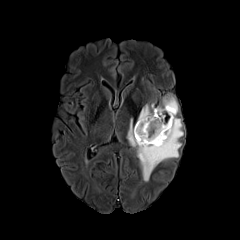
FLAIR MR.
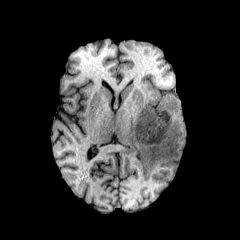
T1-weighted MRI.
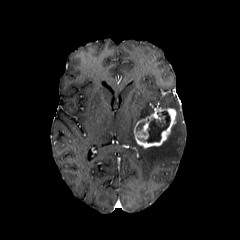
Same slice, post-contrast T1-weighted magnetic resonance.
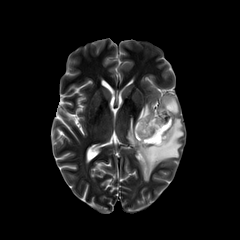
T2-weighted magnetic resonance.
Head
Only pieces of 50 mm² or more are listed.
peritumoral edema = box=[159, 95, 179, 114]; box=[127, 115, 183, 181]; box=[138, 104, 153, 120]
enhancing tumor = box=[134, 106, 176, 148]
necrotic tumor core = box=[144, 111, 170, 142]